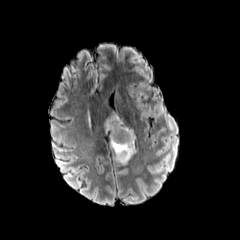
FLAIR MR image.
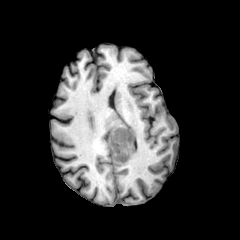
T1-weighted MRI of the same slice.
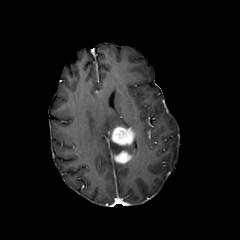
Post-contrast T1-weighted magnetic resonance of the same slice.
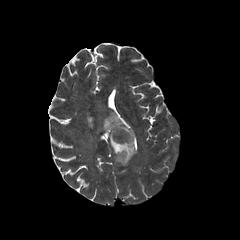
T2-weighted MRI of the same slice.
Axial view, 240x240 px
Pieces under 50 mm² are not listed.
{
  "peritumoral_edema": [
    "105,115,129,156",
    "127,142,135,156"
  ],
  "enhancing_tumor": [
    "111,125,135,164"
  ]
}